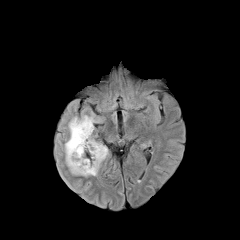
FLAIR magnetic resonance.
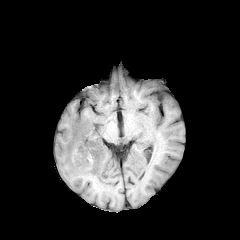
Same slice, T1-weighted MR.
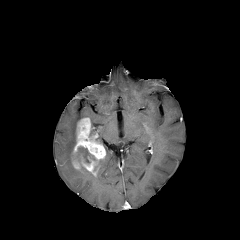
Post-contrast T1-weighted MR image of the same slice.
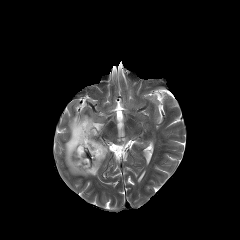
T2-weighted MRI of the same slice.
240x240
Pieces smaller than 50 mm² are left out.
{
  "peritumoral_edema": [
    "[65, 113, 99, 176]"
  ],
  "necrotic_tumor_core": [
    "[74, 147, 94, 162]"
  ],
  "enhancing_tumor": [
    "[72, 118, 105, 175]"
  ]
}